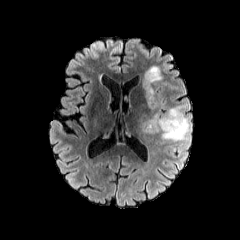
FLAIR MR.
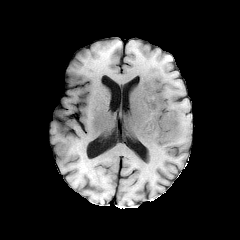
Same slice, T1-weighted MRI.
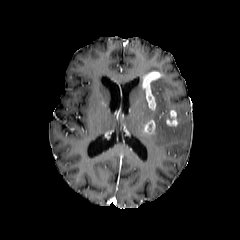
Post-contrast T1-weighted magnetic resonance.
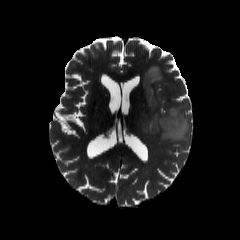
Same slice, T2-weighted magnetic resonance.
Brain
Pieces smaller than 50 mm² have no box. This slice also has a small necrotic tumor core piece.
enhancing tumor at box=[142, 71, 161, 110]; box=[165, 110, 178, 126]; box=[143, 119, 155, 135]
peritumoral edema at box=[142, 89, 191, 144]; box=[143, 66, 160, 75]